FLAIR MRI.
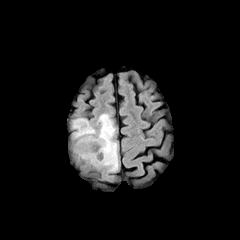
T1-weighted MR image.
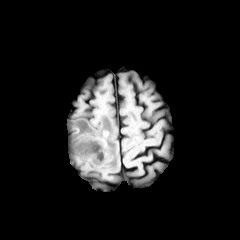
Post-contrast T1-weighted MR image.
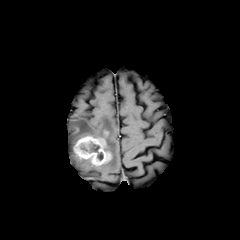
T2-weighted magnetic resonance.
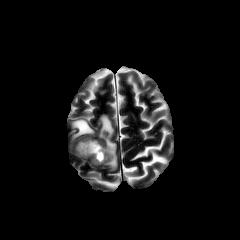
Head.
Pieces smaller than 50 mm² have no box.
enhancing tumor = 74,136,111,165
peritumoral edema = 72,113,118,171
necrotic tumor core = 90,142,103,160